Slice 71 of 155
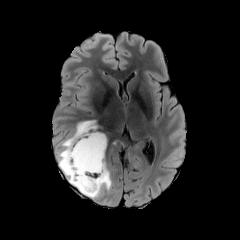
FLAIR MR image.
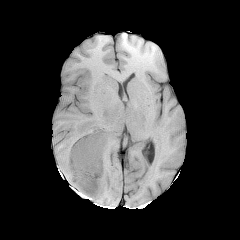
T1-weighted MR.
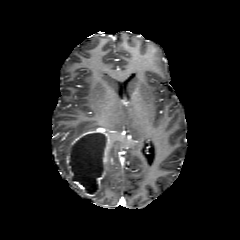
Post-contrast T1-weighted MR.
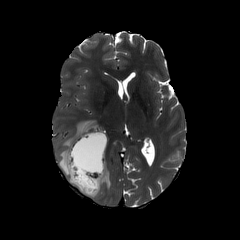
T2-weighted MRI.
<segmentation>
  <peritumoral_edema>(56, 120, 97, 185), (89, 163, 111, 198)</peritumoral_edema>
  <enhancing_tumor>(65, 131, 109, 196)</enhancing_tumor>
  <necrotic_tumor_core>(70, 133, 106, 193)</necrotic_tumor_core>
</segmentation>